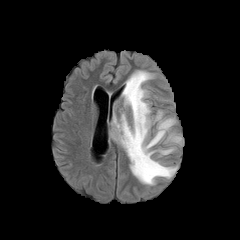
FLAIR MR.
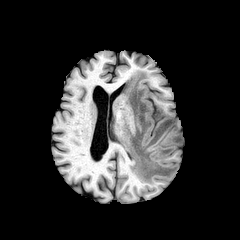
T1-weighted MR image of the same slice.
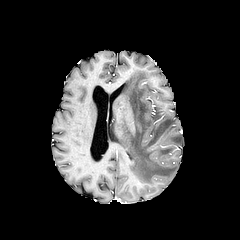
Post-contrast T1-weighted MR.
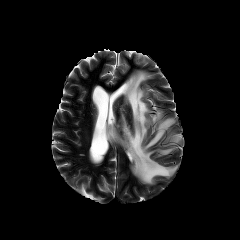
T2-weighted magnetic resonance.
Axial view | Head
Findings:
• peritumoral edema: x1=110, y1=70, x2=177, y2=184; x1=165, y1=134, x2=181, y2=143